Brain
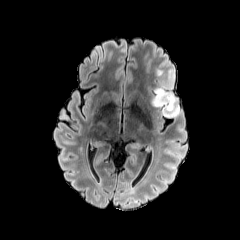
FLAIR MR image.
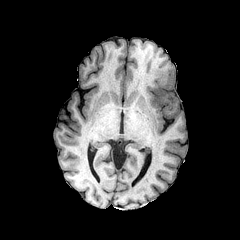
T1-weighted MR.
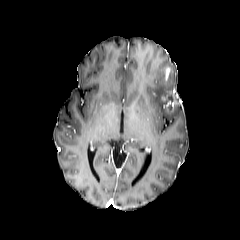
Post-contrast T1-weighted magnetic resonance.
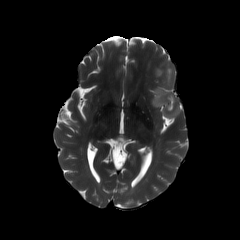
T2-weighted MR image of the same slice.
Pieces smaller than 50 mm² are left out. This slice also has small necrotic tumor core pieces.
peritumoral edema: (x1=151, y1=63, x2=180, y2=117) | enhancing tumor: (x1=164, y1=67, x2=173, y2=84), (x1=162, y1=93, x2=177, y2=110)